FLAIR MR.
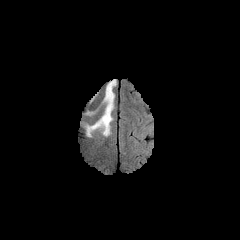
T1-weighted MRI.
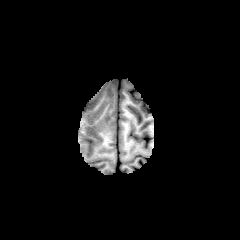
Post-contrast T1-weighted MR.
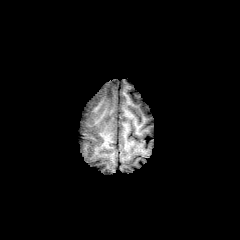
T2-weighted magnetic resonance.
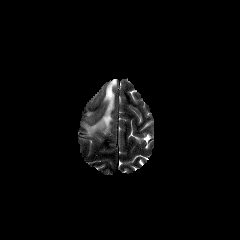
Image size 240x240
The peritumoral edema is bounded by <box>87,79,116,136</box>.